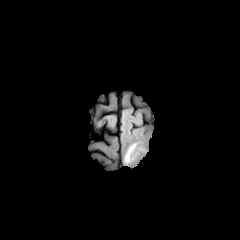
FLAIR MR.
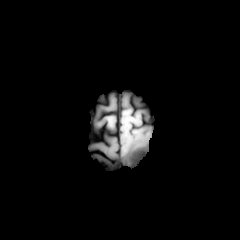
T1-weighted MRI of the same slice.
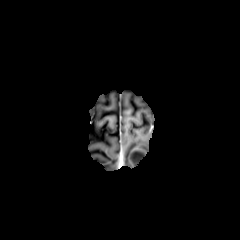
Post-contrast T1-weighted magnetic resonance.
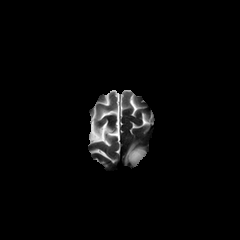
T2-weighted MRI.
Axial slice.
<segmentation>
  <peritumoral_edema>(left=124, top=142, right=145, bottom=164)</peritumoral_edema>
  <enhancing_tumor>(left=128, top=149, right=146, bottom=167)</enhancing_tumor>
  <necrotic_tumor_core>(left=131, top=152, right=143, bottom=164)</necrotic_tumor_core>
</segmentation>